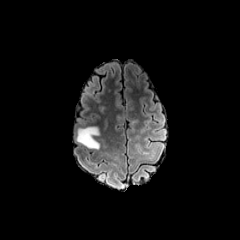
FLAIR MRI.
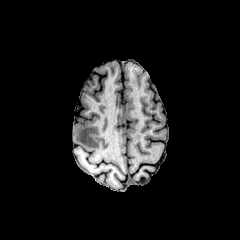
T1-weighted MR image.
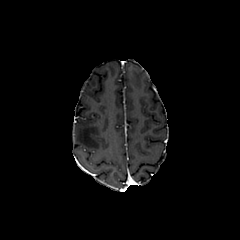
Post-contrast T1-weighted magnetic resonance.
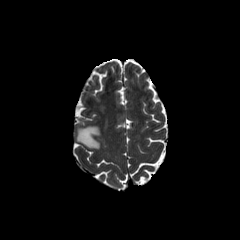
T2-weighted MRI of the same slice.
Axial view; 240x240
peritumoral edema — bbox(76, 127, 99, 149)